Axial plane
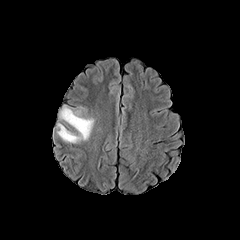
FLAIR MR image.
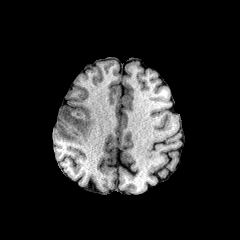
Same slice, T1-weighted MR.
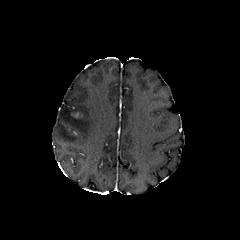
Post-contrast T1-weighted MRI of the same slice.
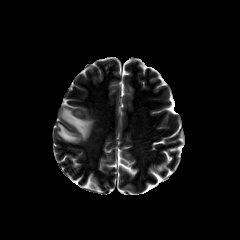
T2-weighted MR.
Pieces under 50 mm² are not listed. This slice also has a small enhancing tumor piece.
The peritumoral edema is at left=57, top=106, right=94, bottom=143.